FLAIR MR image.
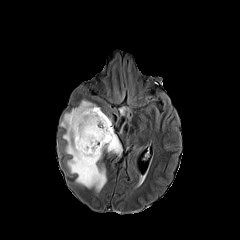
T1-weighted MRI.
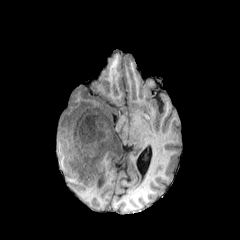
Post-contrast T1-weighted MR.
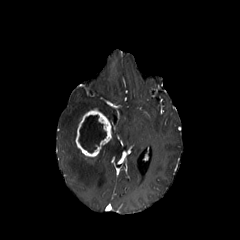
T2-weighted MR image.
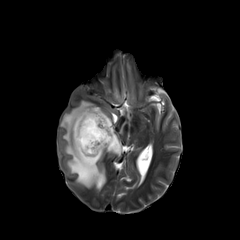
240x240 px | Head
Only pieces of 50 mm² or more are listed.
enhancing tumor: region(75, 108, 112, 157) | necrotic tumor core: region(79, 115, 106, 152) | peritumoral edema: region(60, 100, 121, 191)